Image covers 240 mm x 240 mm
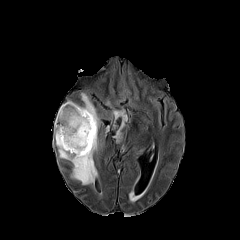
FLAIR MR.
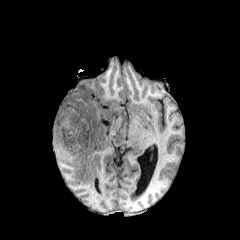
T1-weighted magnetic resonance of the same slice.
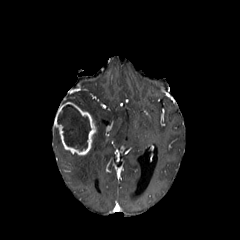
Post-contrast T1-weighted MR image.
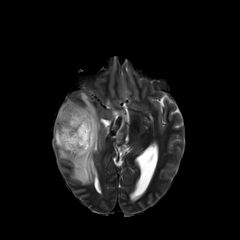
T2-weighted MR image of the same slice.
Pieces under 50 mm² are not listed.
{"enhancing_tumor": ["region(54, 102, 96, 155)"], "necrotic_tumor_core": ["region(57, 104, 91, 151)"], "peritumoral_edema": ["region(77, 92, 100, 130)", "region(128, 190, 140, 200)", "region(112, 108, 127, 142)", "region(54, 128, 100, 184)"]}